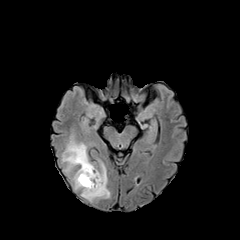
FLAIR MRI.
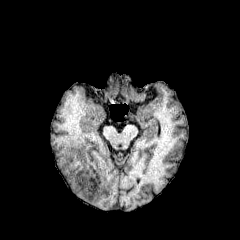
T1-weighted MR image of the same slice.
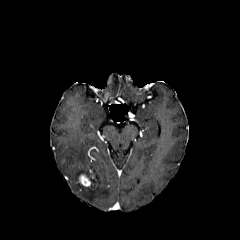
Post-contrast T1-weighted MR of the same slice.
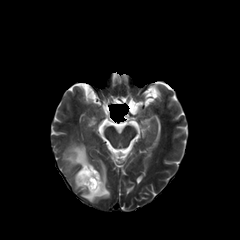
T2-weighted MR image of the same slice.
240x240 px. Brain.
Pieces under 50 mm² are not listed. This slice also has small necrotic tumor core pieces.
- enhancing tumor: 78 174 91 187
- peritumoral edema: 62 139 110 201